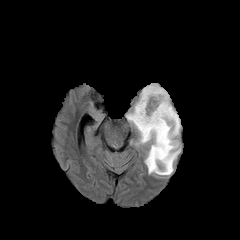
FLAIR MR.
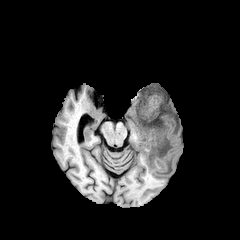
T1-weighted MRI.
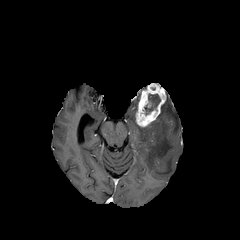
Same slice, post-contrast T1-weighted magnetic resonance.
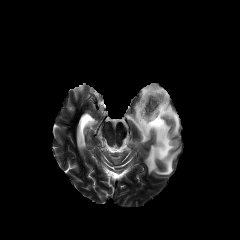
T2-weighted MR image.
Head, Axial slice
Annotated regions:
• enhancing tumor: {"x1": 135, "y1": 83, "x2": 165, "y2": 127}
• necrotic tumor core: {"x1": 145, "y1": 94, "x2": 160, "y2": 113}
• peritumoral edema: {"x1": 126, "y1": 91, "x2": 180, "y2": 175}